Slice 45 of 155, Brain, Image width 240 mm, 1.00 mm slice spacing
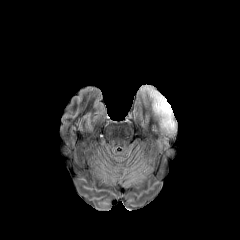
FLAIR MR image.
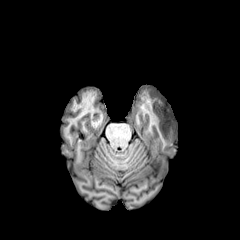
T1-weighted MRI.
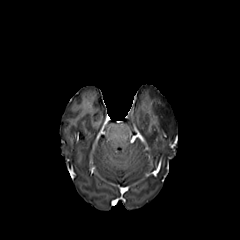
Post-contrast T1-weighted MR image.
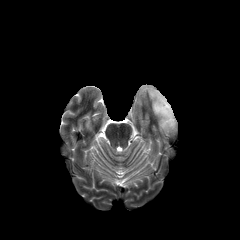
T2-weighted magnetic resonance of the same slice.
{
  "peritumoral_edema": [
    "148 89 175 131"
  ]
}